Brain. Slice 67/155. Axial view.
FLAIR MR image.
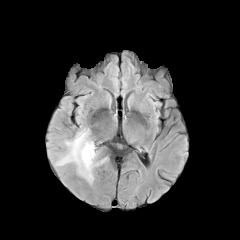
T1-weighted MRI.
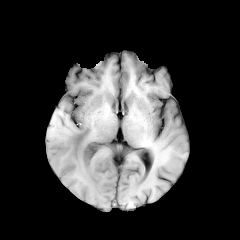
Post-contrast T1-weighted MR image.
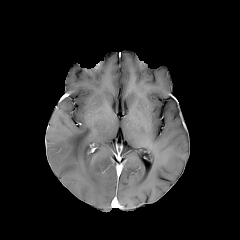
T2-weighted MR image.
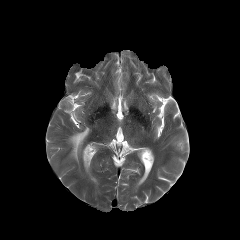
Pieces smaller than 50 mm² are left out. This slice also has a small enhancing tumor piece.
peritumoral edema: box(60, 128, 95, 179)